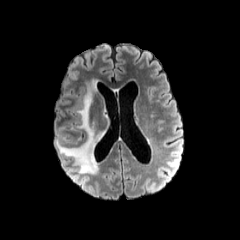
FLAIR magnetic resonance.
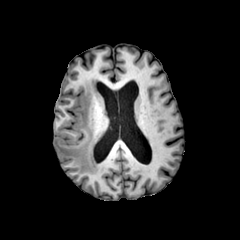
T1-weighted magnetic resonance.
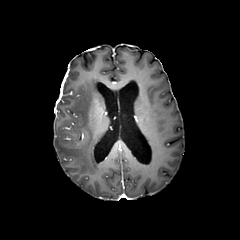
Post-contrast T1-weighted magnetic resonance.
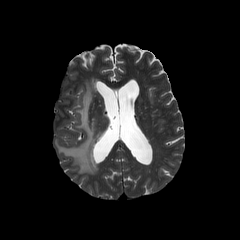
T2-weighted magnetic resonance.
Brain, 240x240
The peritumoral edema is located at rect(56, 80, 102, 174).